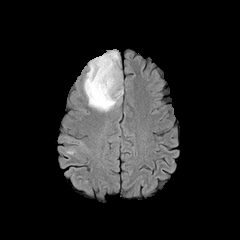
FLAIR magnetic resonance.
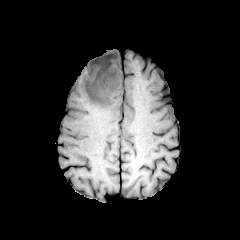
T1-weighted MR image.
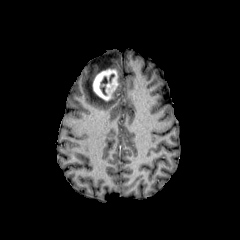
Post-contrast T1-weighted MR image of the same slice.
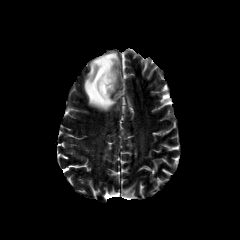
T2-weighted MR.
Axial plane
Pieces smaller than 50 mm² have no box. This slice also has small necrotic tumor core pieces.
enhancing tumor: rect(92, 68, 118, 101) | peritumoral edema: rect(83, 50, 123, 111)